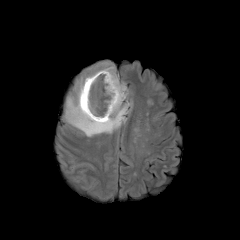
FLAIR MR.
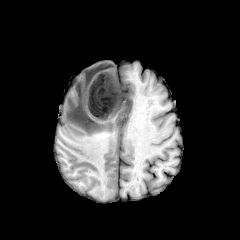
T1-weighted magnetic resonance.
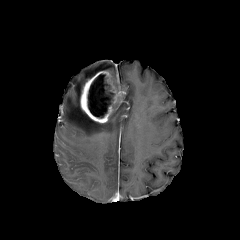
Post-contrast T1-weighted magnetic resonance.
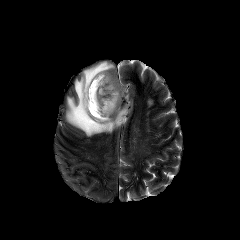
T2-weighted MRI.
Image size 240x240
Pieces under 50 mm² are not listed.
peritumoral edema — 61, 61, 131, 136
enhancing tumor — 80, 70, 126, 123
necrotic tumor core — 88, 74, 114, 118